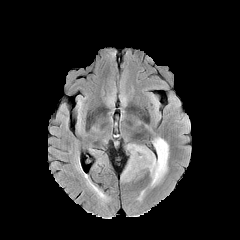
FLAIR MRI.
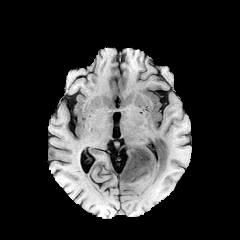
T1-weighted magnetic resonance of the same slice.
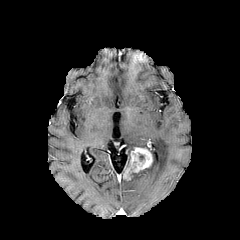
Same slice, post-contrast T1-weighted MR.
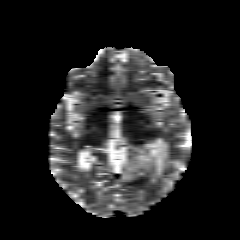
T2-weighted MR.
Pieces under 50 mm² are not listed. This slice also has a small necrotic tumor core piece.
<segmentation>
  <enhancing_tumor>[x1=123, y1=147, x2=152, y2=180]</enhancing_tumor>
  <peritumoral_edema>[x1=145, y1=137, x2=168, y2=185], [x1=127, y1=144, x2=145, y2=152]</peritumoral_edema>
</segmentation>